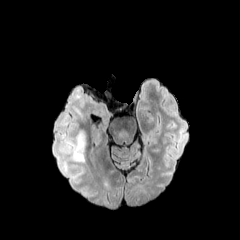
FLAIR MRI.
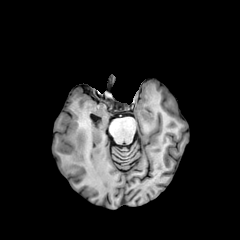
T1-weighted MR image.
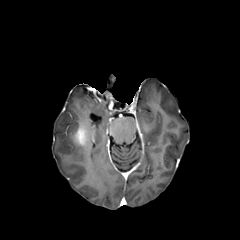
Post-contrast T1-weighted magnetic resonance.
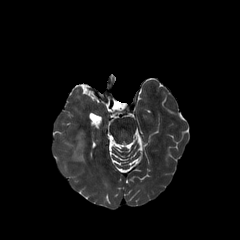
T2-weighted MRI.
240x240 px. Brain.
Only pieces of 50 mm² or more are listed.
The 3 largest peritumoral edema regions appear at left=69, top=128, right=77, bottom=140; left=72, top=105, right=82, bottom=119; left=66, top=141, right=85, bottom=161. The enhancing tumor lies within left=74, top=126, right=87, bottom=146.